Axial plane | Image size 240x240 | Head
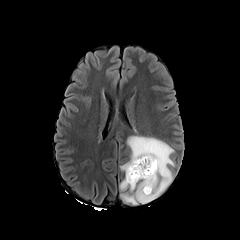
FLAIR MR image.
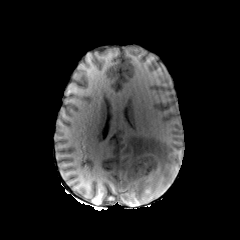
Same slice, T1-weighted magnetic resonance.
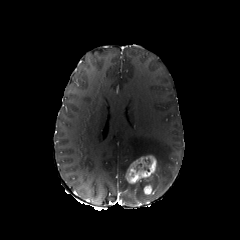
Post-contrast T1-weighted MR image.
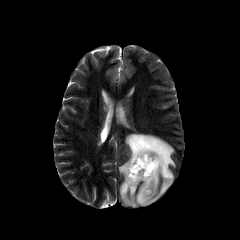
T2-weighted magnetic resonance of the same slice.
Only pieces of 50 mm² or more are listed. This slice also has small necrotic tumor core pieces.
{"enhancing_tumor": ["[x1=143, y1=184, x2=154, y2=195]", "[x1=125, y1=155, x2=156, y2=183]"], "peritumoral_edema": ["[x1=119, y1=134, x2=174, y2=204]"]}